Slice 94 of 155 | Axial plane
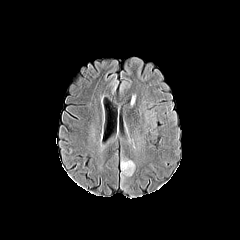
FLAIR MR image.
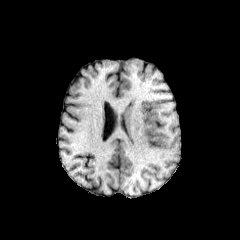
T1-weighted MRI.
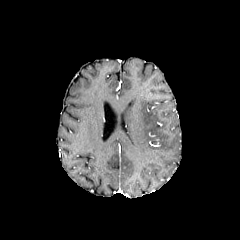
Post-contrast T1-weighted magnetic resonance of the same slice.
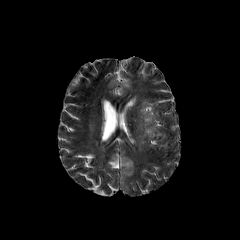
T2-weighted magnetic resonance.
peritumoral edema: 121 161 135 175